240x240 | Image covers 240 mm x 240 mm | Axial plane | Brain
FLAIR MR.
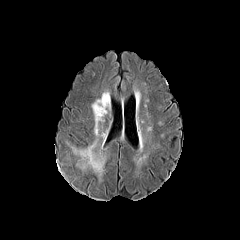
T1-weighted magnetic resonance.
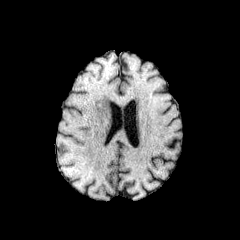
Post-contrast T1-weighted MR image.
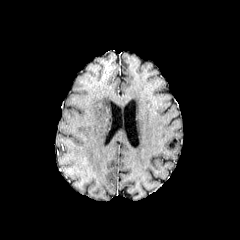
T2-weighted MR.
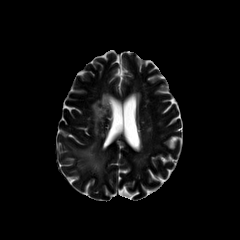
peritumoral_edema:
  - 92,93,107,134
  - 77,143,104,174